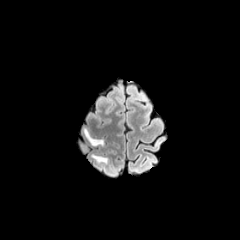
FLAIR MR.
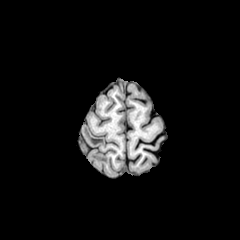
T1-weighted magnetic resonance of the same slice.
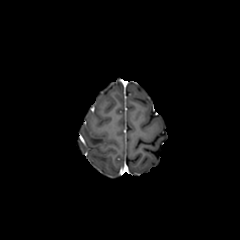
Post-contrast T1-weighted magnetic resonance.
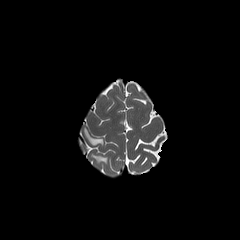
Same slice, T2-weighted magnetic resonance.
Brain | Image size 240x240 | Axial view
peritumoral edema: (x1=83, y1=128, x2=104, y2=145), (x1=92, y1=155, x2=107, y2=163)